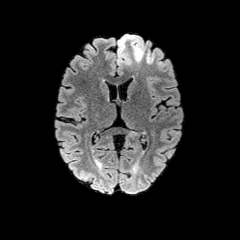
FLAIR MR.
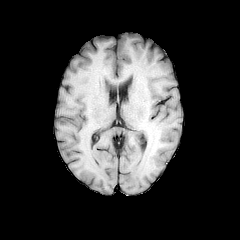
Same slice, T1-weighted MR.
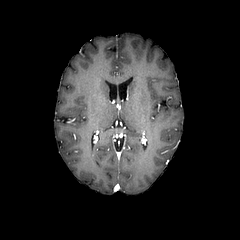
Same slice, post-contrast T1-weighted MR.
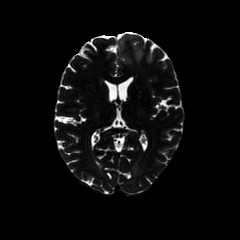
T2-weighted MRI.
240x240, Head
The peritumoral edema appears at l=117, t=34, r=144, b=64.